FLAIR MR image.
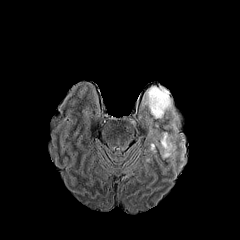
T1-weighted magnetic resonance.
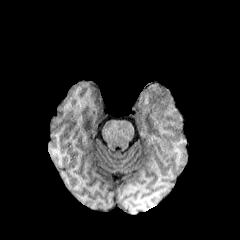
Post-contrast T1-weighted MRI.
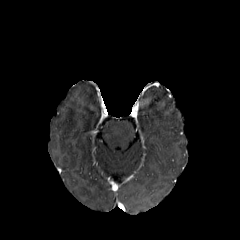
T2-weighted MR image.
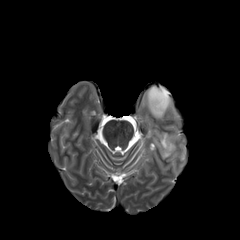
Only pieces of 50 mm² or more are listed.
The 2 largest peritumoral edema regions appear at bbox(144, 86, 172, 118); bbox(161, 132, 175, 157).